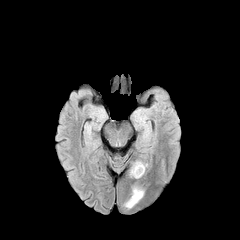
FLAIR MR.
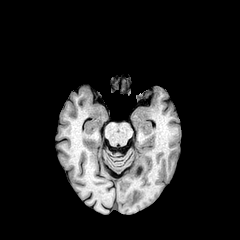
T1-weighted MR of the same slice.
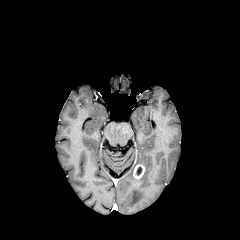
Post-contrast T1-weighted MR.
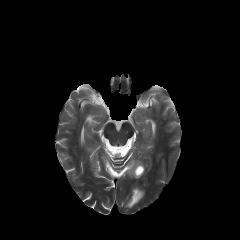
T2-weighted MRI.
Head.
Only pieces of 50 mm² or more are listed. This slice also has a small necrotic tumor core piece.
Annotated regions:
• peritumoral edema: [x1=125, y1=188, x2=143, y2=207]
• enhancing tumor: [x1=133, y1=164, x2=144, y2=178]